FLAIR magnetic resonance.
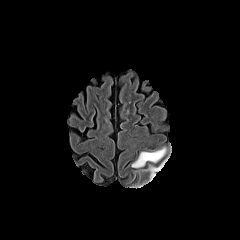
T1-weighted MR image.
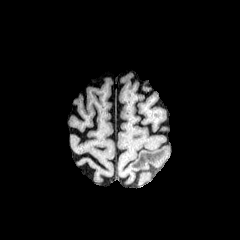
Post-contrast T1-weighted magnetic resonance.
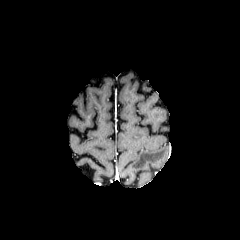
T2-weighted MRI.
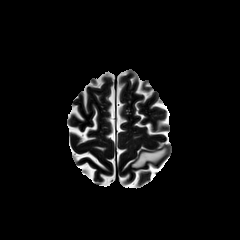
Head; 240x240
{"peritumoral_edema": ["x1=147, y1=159, x2=166, y2=179", "x1=132, y1=148, x2=166, y2=167"]}